FLAIR MR.
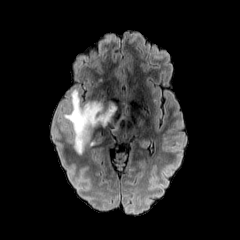
T1-weighted magnetic resonance.
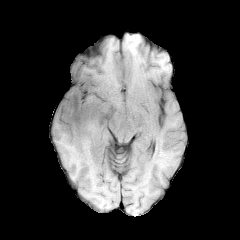
Post-contrast T1-weighted MR image.
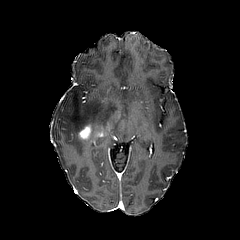
T2-weighted MR.
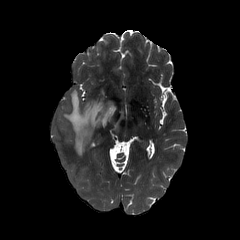
Axial plane; 240x240
{"enhancing_tumor": ["(x1=78, y1=125, x2=91, y2=139)"], "peritumoral_edema": ["(x1=63, y1=89, x2=124, y2=154)"]}